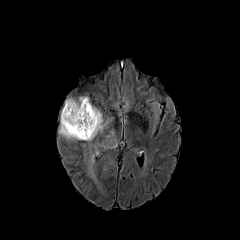
FLAIR MRI.
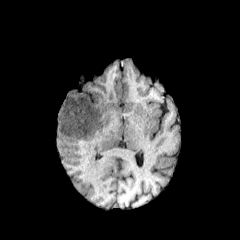
T1-weighted magnetic resonance.
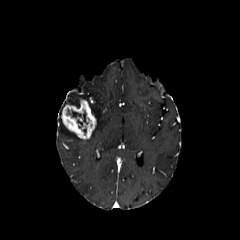
Post-contrast T1-weighted MR image.
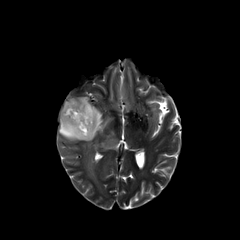
T2-weighted magnetic resonance of the same slice.
Axial plane, 240x240 px
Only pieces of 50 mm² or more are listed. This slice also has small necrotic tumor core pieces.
peritumoral edema: bounding box <bbox>98, 131, 117, 148</bbox>, <bbox>58, 119, 82, 140</bbox>, <bbox>65, 96, 108, 147</bbox>, <bbox>87, 154, 98, 183</bbox>
enhancing tumor: bounding box <bbox>61, 99, 96, 139</bbox>